Axial view | Head
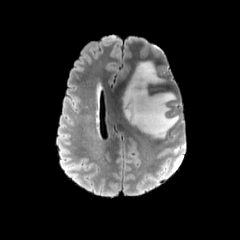
FLAIR MRI.
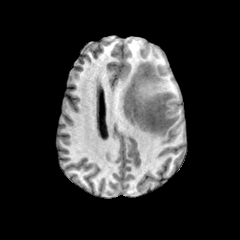
T1-weighted MR image.
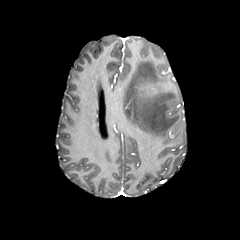
Same slice, post-contrast T1-weighted MR image.
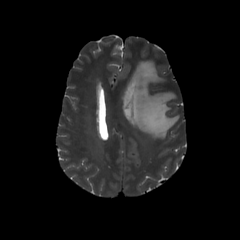
T2-weighted MR image of the same slice.
* peritumoral edema: <bbox>123, 61, 179, 138</bbox>